Image size 240x240 | Image width 240 mm, 1.00 mm slice spacing
FLAIR MR.
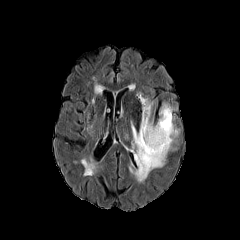
T1-weighted MR image.
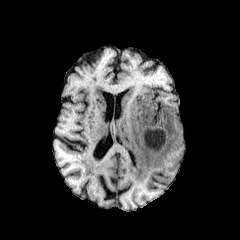
Post-contrast T1-weighted MR image.
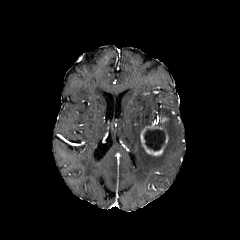
T2-weighted magnetic resonance.
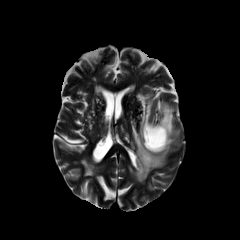
The peritumoral edema is at rect(129, 94, 178, 182). The necrotic tumor core is located at rect(144, 129, 165, 150). The enhancing tumor is at rect(140, 116, 168, 156).